Axial view, 240x240 px
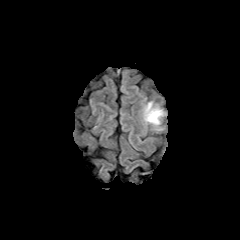
FLAIR MR image.
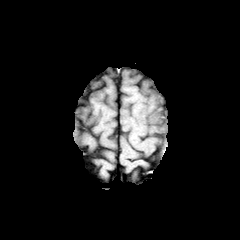
T1-weighted magnetic resonance of the same slice.
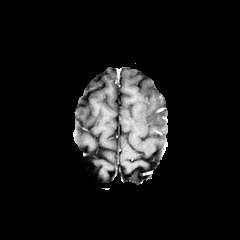
Post-contrast T1-weighted magnetic resonance of the same slice.
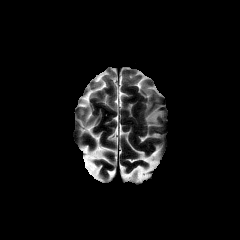
T2-weighted magnetic resonance of the same slice.
peritumoral edema at (x1=144, y1=102, x2=163, y2=125)